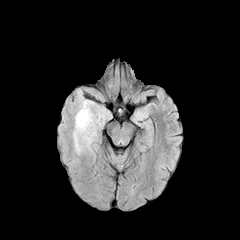
FLAIR MR.
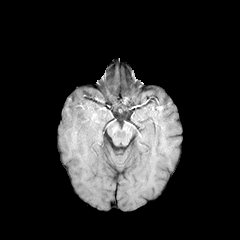
T1-weighted MR.
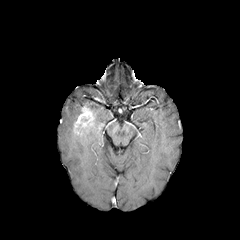
Post-contrast T1-weighted magnetic resonance.
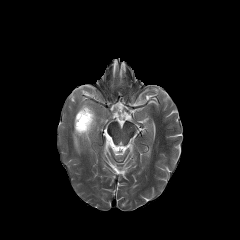
T2-weighted magnetic resonance of the same slice.
240x240 px | Head | Axial plane
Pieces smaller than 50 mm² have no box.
peritumoral edema: box=[73, 101, 102, 152] | enhancing tumor: box=[74, 106, 94, 136]